Head; Axial plane
FLAIR MR.
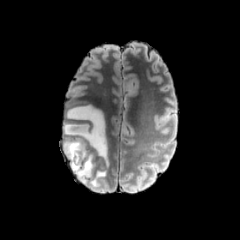
T1-weighted MR image.
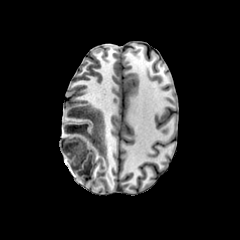
Post-contrast T1-weighted MR.
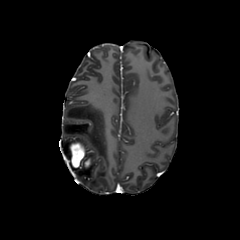
T2-weighted MRI.
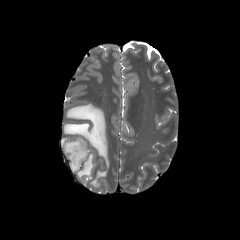
The peritumoral edema is at [62, 105, 108, 189]. The enhancing tumor appears at [69, 141, 91, 168].